Image width 240 mm, 1.00 mm slice spacing; Slice 84/155; 240x240
FLAIR MR.
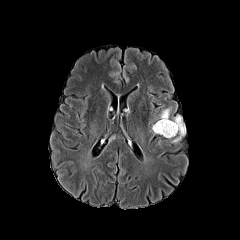
T1-weighted MR.
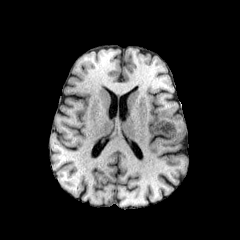
Post-contrast T1-weighted magnetic resonance.
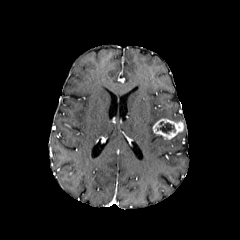
T2-weighted MRI.
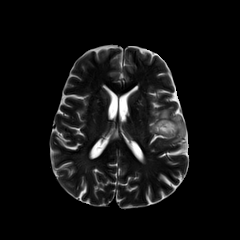
The enhancing tumor appears at {"x1": 152, "y1": 118, "x2": 184, "y2": 139}. 3 peritumoral edema regions are located at {"x1": 171, "y1": 127, "x2": 185, "y2": 142}, {"x1": 159, "y1": 108, "x2": 170, "y2": 118}, {"x1": 172, "y1": 115, "x2": 181, "y2": 121}. The necrotic tumor core is located at {"x1": 157, "y1": 121, "x2": 175, "y2": 133}.